Image covers 240 mm x 240 mm. Axial view.
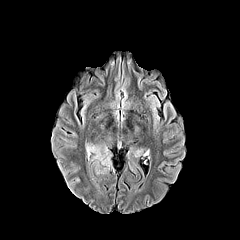
FLAIR magnetic resonance.
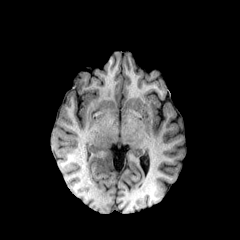
T1-weighted MR.
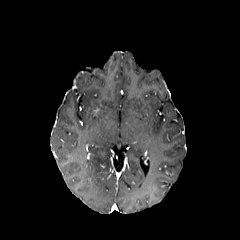
Post-contrast T1-weighted magnetic resonance.
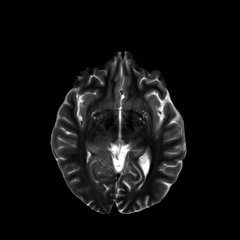
T2-weighted MRI of the same slice.
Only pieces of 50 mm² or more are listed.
peritumoral edema: 89,147,110,166